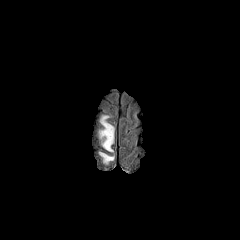
FLAIR MRI.
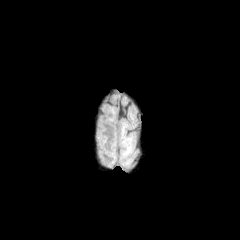
T1-weighted MRI.
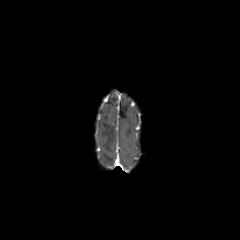
Same slice, post-contrast T1-weighted magnetic resonance.
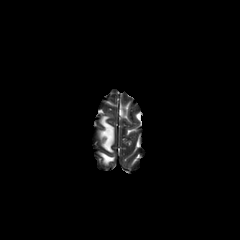
T2-weighted magnetic resonance of the same slice.
Brain
2 peritumoral edema regions are bounded by 99,116,114,151; 100,153,114,163.